Slice 58 of 155. Axial plane. 240x240. Brain.
FLAIR magnetic resonance.
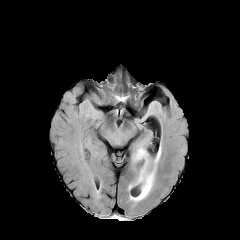
T1-weighted MR.
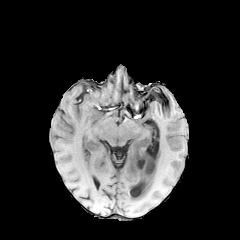
Post-contrast T1-weighted magnetic resonance.
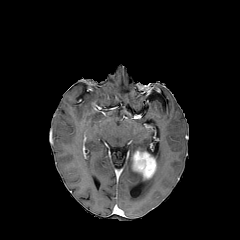
T2-weighted MRI.
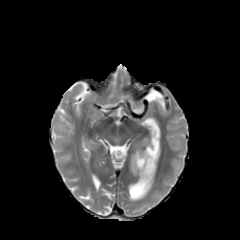
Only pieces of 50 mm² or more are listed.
peritumoral edema: x1=128, y1=172, x2=154, y2=201 | enhancing tumor: x1=132, y1=150, x2=156, y2=179